Brain; Image width 240 mm
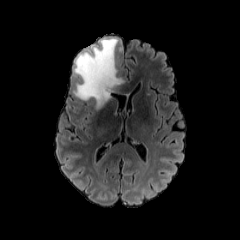
FLAIR MR image.
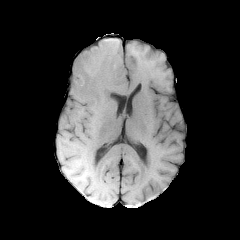
T1-weighted MR of the same slice.
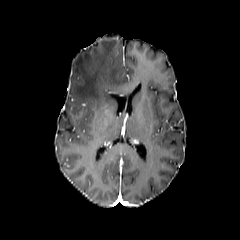
Same slice, post-contrast T1-weighted MR image.
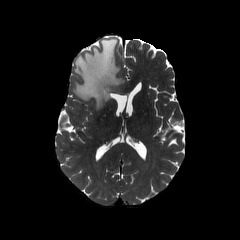
Same slice, T2-weighted MR image.
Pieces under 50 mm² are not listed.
The largest peritumoral edema region lies within l=73, t=38, r=124, b=109.